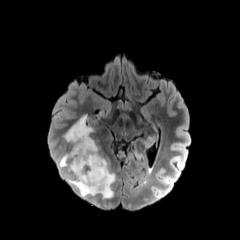
FLAIR MR image.
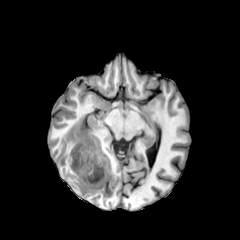
T1-weighted MR image of the same slice.
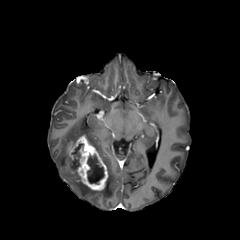
Post-contrast T1-weighted MR.
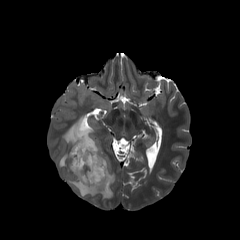
Same slice, T2-weighted MR image.
Axial view
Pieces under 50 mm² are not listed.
Segmented structures:
- necrotic tumor core: rect(72, 143, 83, 159); rect(87, 154, 104, 183)
- enhancing tumor: rect(69, 135, 108, 190)
- peritumoral edema: rect(58, 152, 70, 167); rect(63, 114, 115, 199)